Slice 118/155. Image covers 240 mm x 240 mm. Brain. Axial plane.
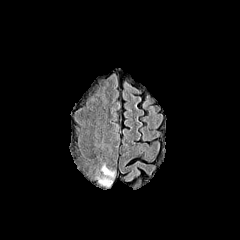
FLAIR MR image.
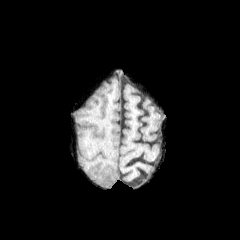
T1-weighted MR.
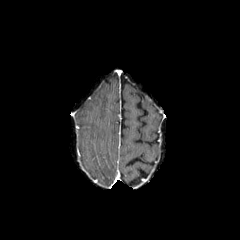
Post-contrast T1-weighted MR image of the same slice.
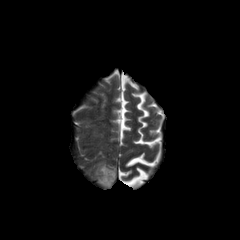
T2-weighted MR image.
Segmented structures:
• peritumoral edema: <box>98,164,116,187</box>